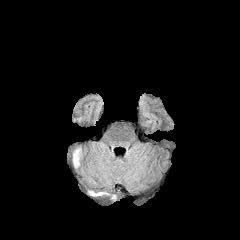
FLAIR MR.
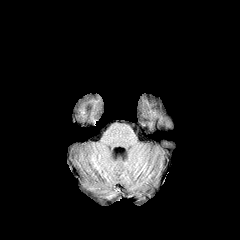
T1-weighted magnetic resonance.
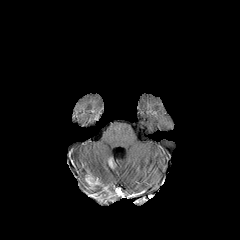
Post-contrast T1-weighted MR.
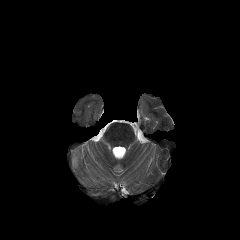
T2-weighted MR of the same slice.
240x240 px.
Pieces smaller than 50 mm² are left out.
The enhancing tumor is bounded by <bbox>85, 175, 98, 185</bbox>. The largest peritumoral edema region is located at <bbox>73, 149, 80, 166</bbox>.